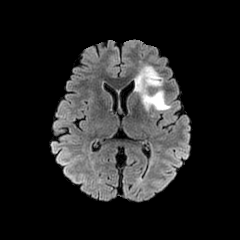
FLAIR magnetic resonance.
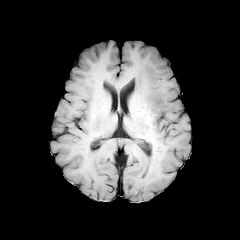
T1-weighted magnetic resonance of the same slice.
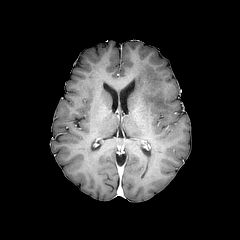
Post-contrast T1-weighted MR image.
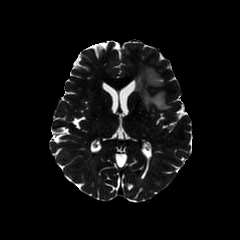
Same slice, T2-weighted MR.
Head. Image size 240x240. Axial view.
{
  "peritumoral_edema": [
    "bbox(134, 65, 170, 109)"
  ]
}